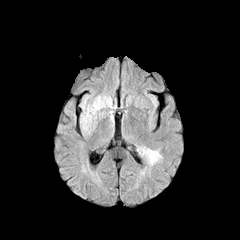
FLAIR MR image.
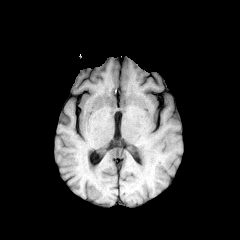
T1-weighted MR image.
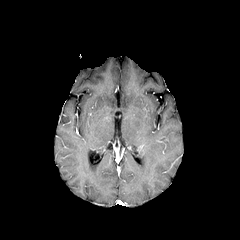
Same slice, post-contrast T1-weighted MRI.
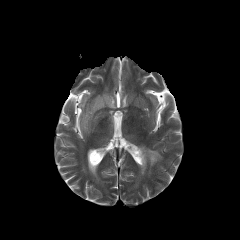
T2-weighted MRI of the same slice.
Head; Axial slice; 240x240 px
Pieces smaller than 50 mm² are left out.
peritumoral edema — bbox=[138, 148, 161, 164]; bbox=[80, 96, 110, 138]